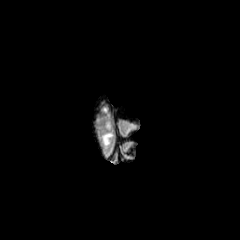
FLAIR MR.
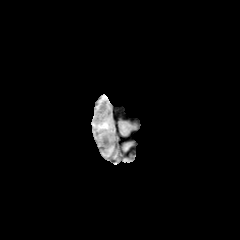
T1-weighted MRI.
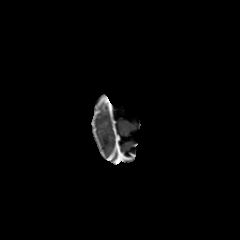
Post-contrast T1-weighted MR image.
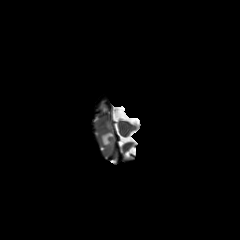
T2-weighted MR image.
Image size 240x240, Axial plane, Brain
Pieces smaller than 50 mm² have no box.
The largest peritumoral edema region is bounded by bbox=[100, 121, 113, 146].